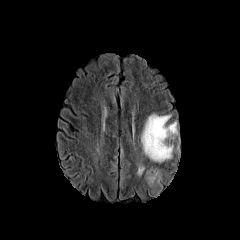
FLAIR MRI.
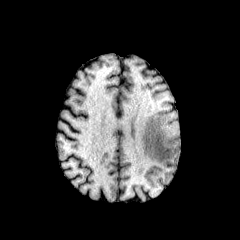
T1-weighted MR image.
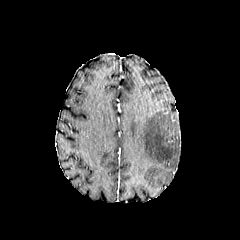
Post-contrast T1-weighted magnetic resonance of the same slice.
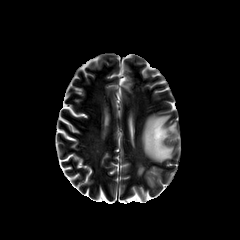
Same slice, T2-weighted magnetic resonance.
Axial view, Brain
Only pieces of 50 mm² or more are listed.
The 3 largest peritumoral edema regions are located at <bbox>137, 165, 144, 174</bbox>, <bbox>146, 167, 160, 186</bbox>, <bbox>141, 113, 178, 162</bbox>.